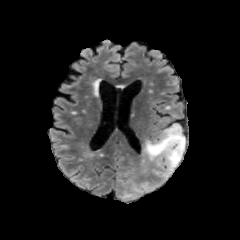
FLAIR MRI.
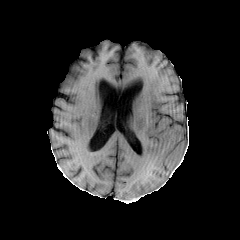
T1-weighted MR of the same slice.
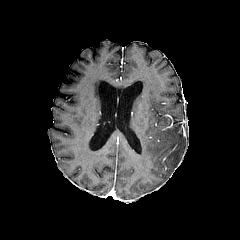
Post-contrast T1-weighted MR of the same slice.
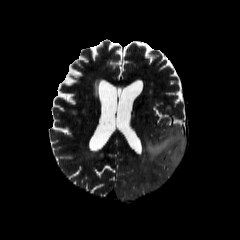
T2-weighted MR image.
Axial slice; Head
Segmented structures:
* peritumoral edema: 143:123:185:170